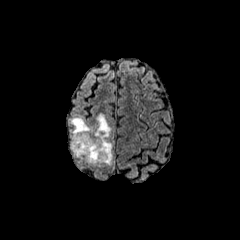
FLAIR magnetic resonance.
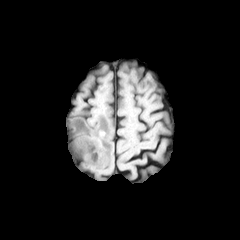
T1-weighted MR image.
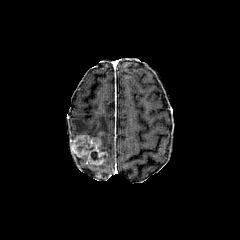
Post-contrast T1-weighted MRI.
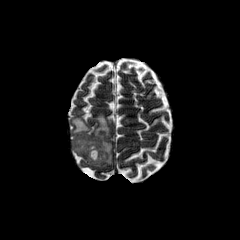
Same slice, T2-weighted MR image.
Axial plane
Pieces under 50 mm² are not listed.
enhancing tumor: (left=70, top=134, right=107, bottom=165) | necrotic tumor core: (left=91, top=151, right=101, bottom=160), (left=77, top=141, right=94, bottom=151) | peritumoral edema: (left=71, top=114, right=112, bottom=165)